Image covers 240 mm x 240 mm.
FLAIR MR image.
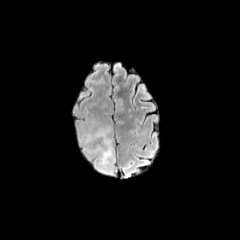
T1-weighted MRI.
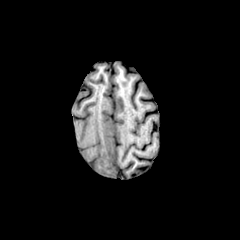
Post-contrast T1-weighted MR.
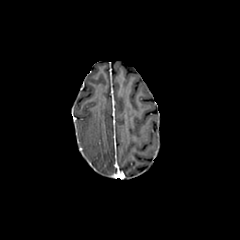
T2-weighted MR image.
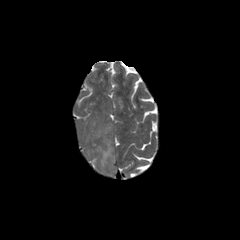
The peritumoral edema is at (left=87, top=126, right=114, bottom=173).